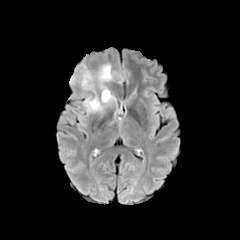
FLAIR magnetic resonance.
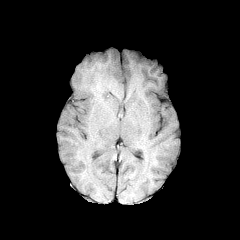
Same slice, T1-weighted magnetic resonance.
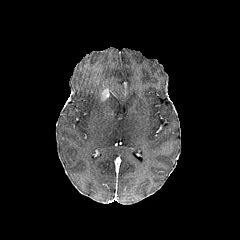
Post-contrast T1-weighted magnetic resonance of the same slice.
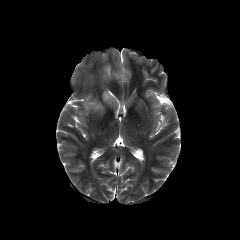
T2-weighted MR.
Head; Image size 240x240
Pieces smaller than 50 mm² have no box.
enhancing tumor = x1=102, y1=89, x2=109, y2=99
peritumoral edema = x1=88, y1=100, x2=100, y2=109; x1=101, y1=65, x2=110, y2=79